Slice 98/155
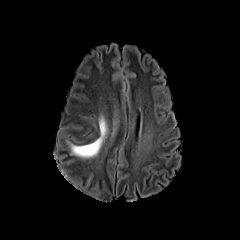
FLAIR MR.
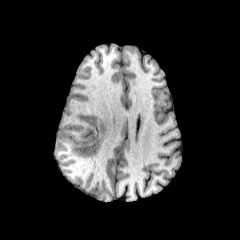
T1-weighted MR.
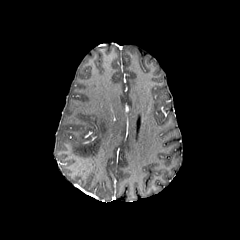
Post-contrast T1-weighted magnetic resonance of the same slice.
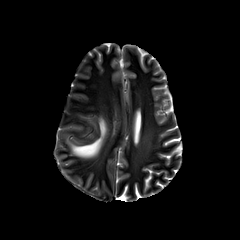
T2-weighted MR image of the same slice.
{
  "peritumoral_edema": [
    "left=71, top=118, right=106, bottom=157"
  ]
}